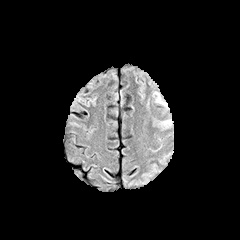
FLAIR MRI.
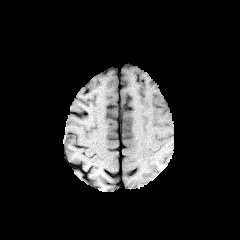
T1-weighted magnetic resonance.
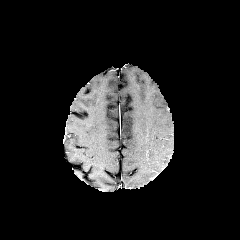
Post-contrast T1-weighted MR of the same slice.
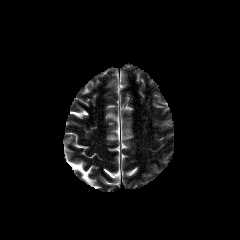
T2-weighted MRI of the same slice.
240x240
Segmented structures:
- peritumoral edema: l=145, t=98, r=173, b=130; l=151, t=90, r=167, b=108